Image covers 240 mm x 240 mm, Head, Axial slice
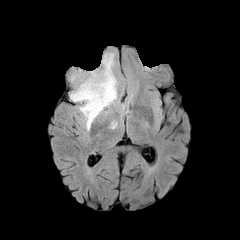
FLAIR MR.
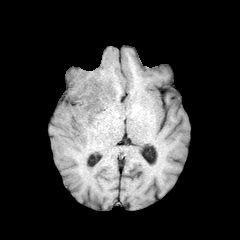
T1-weighted MR.
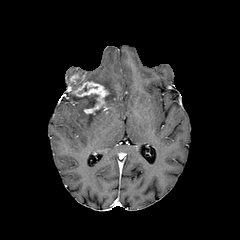
Post-contrast T1-weighted magnetic resonance of the same slice.
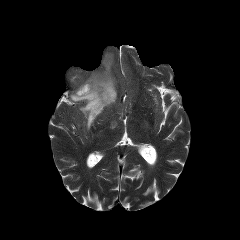
T2-weighted MRI.
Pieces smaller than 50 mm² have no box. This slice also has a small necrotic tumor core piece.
The 2 largest peritumoral edema regions are located at (70,93,103,130), (75,54,117,108). The 2 largest enhancing tumor regions are bounded by (72,81,109,113), (70,74,79,83).